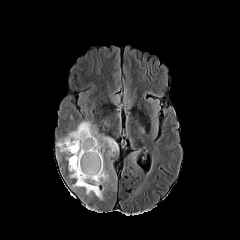
FLAIR magnetic resonance.
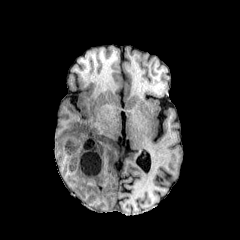
T1-weighted MR image.
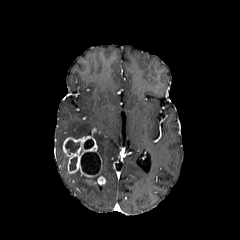
Post-contrast T1-weighted MR image.
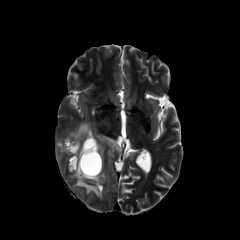
T2-weighted MR image.
Axial slice | Head
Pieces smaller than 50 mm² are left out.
2 enhancing tumor regions are bounded by 63:136:102:184, 94:176:105:184. The 4 largest peritumoral edema regions appear at 56:138:65:153, 69:171:103:199, 94:134:118:182, 66:121:93:138. The 4 largest necrotic tumor core regions are bounded by 65:140:79:154, 69:157:77:170, 81:152:100:174, 84:139:93:148.